FLAIR MRI.
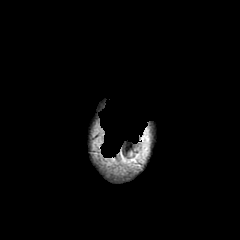
T1-weighted magnetic resonance.
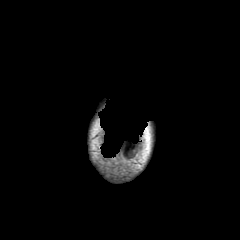
Post-contrast T1-weighted MR.
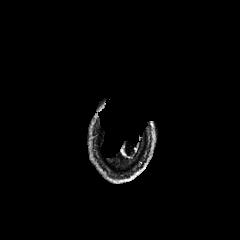
T2-weighted MRI.
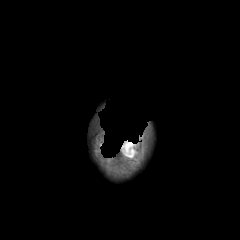
Head; Axial view
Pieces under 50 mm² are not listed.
peritumoral edema at {"x1": 122, "y1": 154, "x2": 138, "y2": 162}